FLAIR MRI.
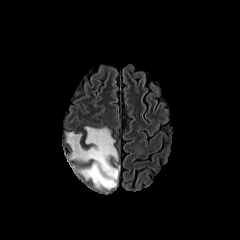
T1-weighted magnetic resonance.
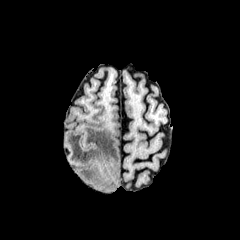
Post-contrast T1-weighted MRI.
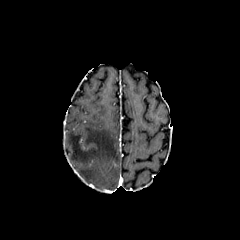
T2-weighted magnetic resonance.
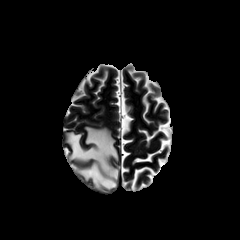
Axial slice
{
  "peritumoral_edema": [
    "bbox(66, 126, 119, 189)"
  ]
}